FLAIR MRI.
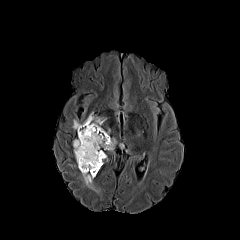
T1-weighted MRI.
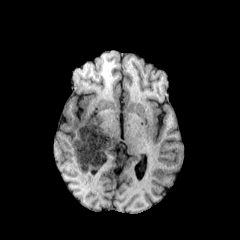
Post-contrast T1-weighted MRI.
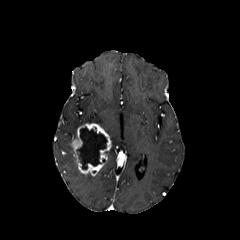
T2-weighted MR.
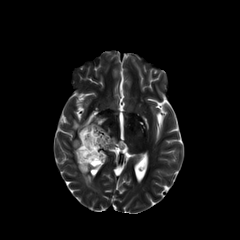
Head. Axial view.
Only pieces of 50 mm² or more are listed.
* necrotic tumor core: rect(77, 127, 107, 169)
* enhancing tumor: rect(71, 123, 111, 176)
* peritumoral edema: rect(82, 173, 98, 191); rect(72, 113, 105, 130)